Head
FLAIR magnetic resonance.
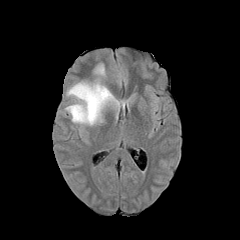
T1-weighted MR.
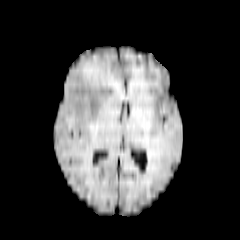
Post-contrast T1-weighted MR image.
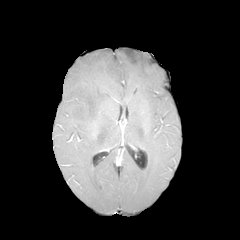
T2-weighted magnetic resonance.
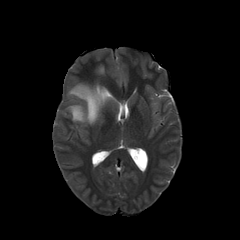
2 peritumoral edema regions appear at <bbox>65, 82, 120, 125</bbox>, <bbox>95, 64, 104, 75</bbox>.